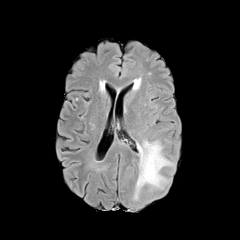
FLAIR MRI.
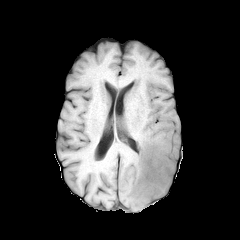
Same slice, T1-weighted MR.
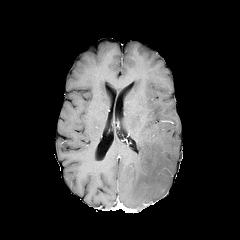
Post-contrast T1-weighted MRI.
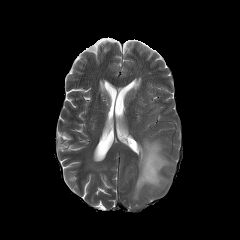
Same slice, T2-weighted MRI.
240x240 px, Head
peritumoral edema = 133,139,173,200